240x240 px. Head.
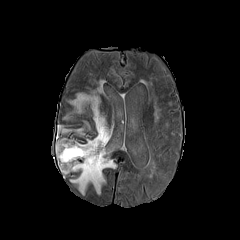
FLAIR MRI.
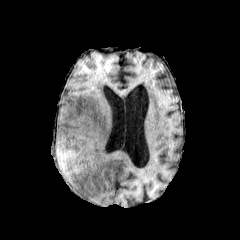
T1-weighted MR image.
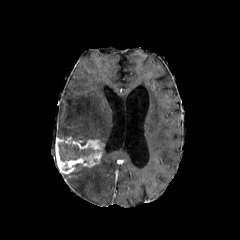
Same slice, post-contrast T1-weighted magnetic resonance.
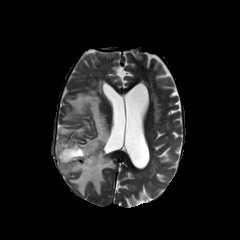
T2-weighted MRI of the same slice.
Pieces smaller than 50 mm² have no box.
enhancing tumor: bounding box (x1=55, y1=137, x2=103, y2=173)
peritumoral edema: bounding box (x1=70, y1=150, x2=115, y2=194), (x1=69, y1=93, x2=109, y2=145), (x1=58, y1=125, x2=71, y2=134)
necrotic tumor core: bounding box (x1=58, y1=142, x2=94, y2=161)